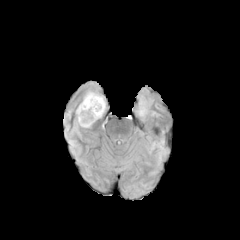
FLAIR MR image.
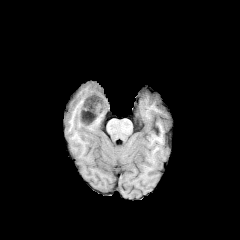
T1-weighted MR.
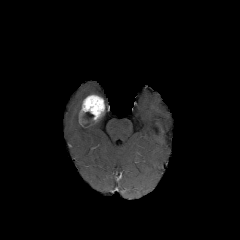
Post-contrast T1-weighted magnetic resonance of the same slice.
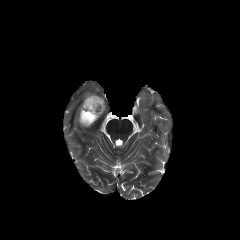
T2-weighted MRI.
Brain
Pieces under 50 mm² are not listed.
necrotic tumor core: 82:112:93:126
enhancing tumor: 79:94:106:128
peritumoral edema: 80:91:104:102, 74:103:81:129